Axial view | Image covers 240 mm x 240 mm | Image size 240x240 | Brain
FLAIR magnetic resonance.
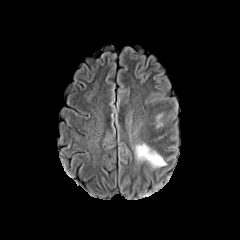
T1-weighted MRI.
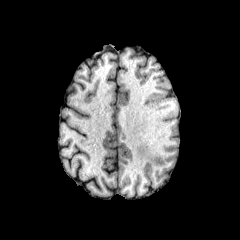
Post-contrast T1-weighted MR image.
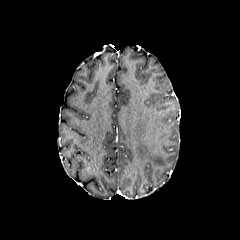
T2-weighted MR image.
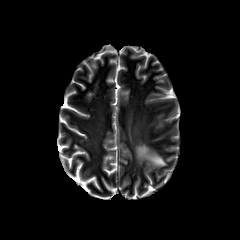
The peritumoral edema appears at [135,144,165,166].